Slice 47/155, Axial plane, Brain
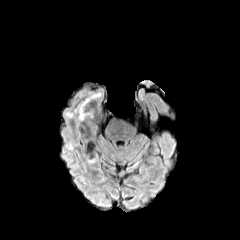
FLAIR MRI.
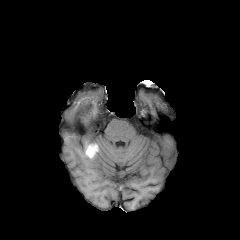
T1-weighted MRI.
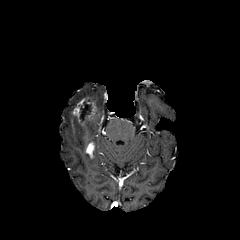
Same slice, post-contrast T1-weighted magnetic resonance.
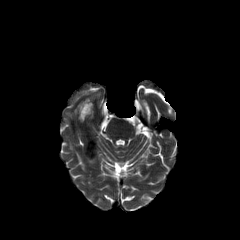
Same slice, T2-weighted magnetic resonance.
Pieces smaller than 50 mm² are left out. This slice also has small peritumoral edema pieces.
The necrotic tumor core is located at (80, 104, 89, 120). The enhancing tumor is bounded by (71, 96, 100, 137).